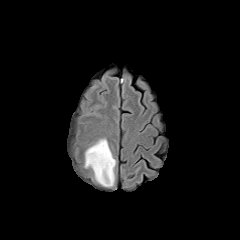
FLAIR MR image.
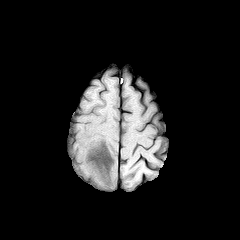
T1-weighted magnetic resonance.
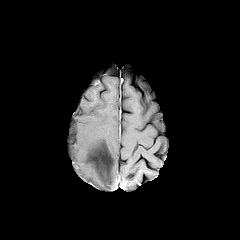
Post-contrast T1-weighted MRI.
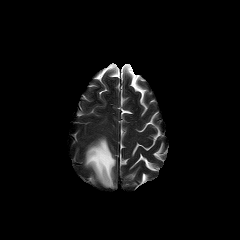
T2-weighted MRI.
240x240 px, Axial slice, Brain
peritumoral edema: bounding box (85,138,115,186)